FLAIR MR image.
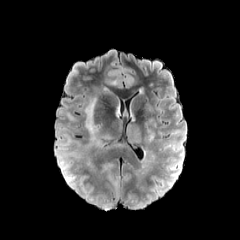
T1-weighted MRI.
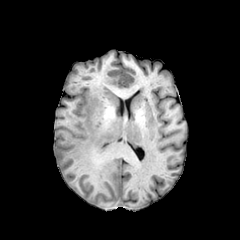
Post-contrast T1-weighted MR image.
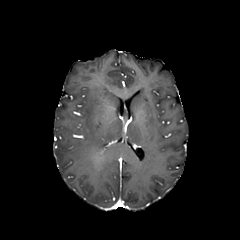
T2-weighted magnetic resonance.
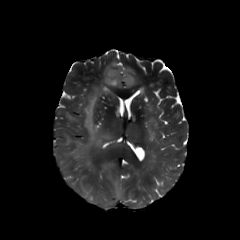
Head
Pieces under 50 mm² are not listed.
peritumoral_edema:
  - (x1=57, y1=151, x2=66, y2=172)
  - (x1=84, y1=97, x2=109, y2=146)
  - (x1=126, y1=123, x2=140, y2=146)